FLAIR MRI.
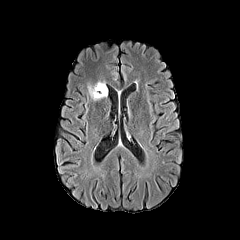
T1-weighted MRI.
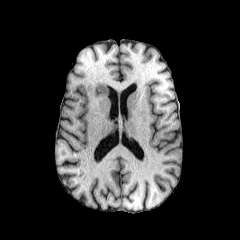
Post-contrast T1-weighted magnetic resonance.
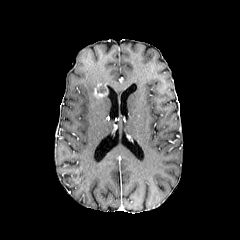
T2-weighted MRI.
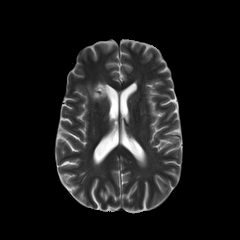
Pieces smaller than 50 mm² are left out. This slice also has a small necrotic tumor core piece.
* peritumoral edema: (x1=88, y1=85, x2=102, y2=100)
* enhancing tumor: (x1=93, y1=83, x2=107, y2=98)